Image covers 240 mm x 240 mm | Axial plane | Head
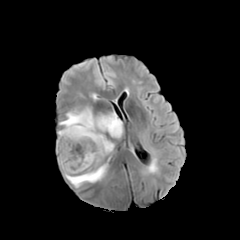
FLAIR magnetic resonance.
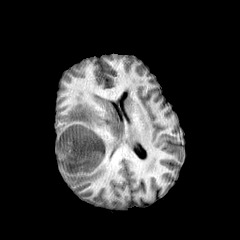
T1-weighted MRI.
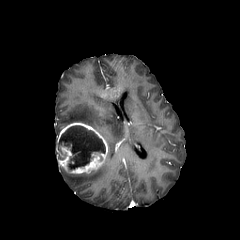
Post-contrast T1-weighted MR.
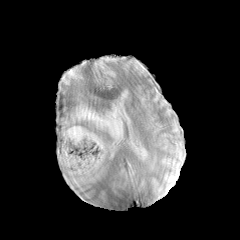
Same slice, T2-weighted MRI.
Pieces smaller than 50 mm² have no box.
- enhancing tumor: [x1=56, y1=122, x2=107, y2=173]
- necrotic tumor core: [x1=58, y1=126, x2=105, y2=169]
- peritumoral edema: [x1=59, y1=106, x2=123, y2=153], [x1=63, y1=163, x2=108, y2=187]